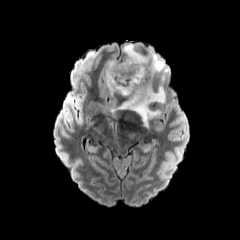
FLAIR MR.
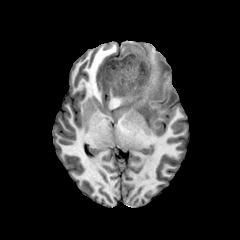
T1-weighted MRI.
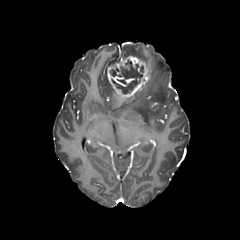
Post-contrast T1-weighted MR image.
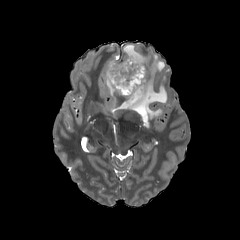
T2-weighted MR.
Axial plane, Brain
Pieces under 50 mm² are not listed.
enhancing_tumor:
  - 107,55,150,99
peritumoral_edema:
  - 123,44,148,65
  - 150,48,169,82
  - 104,59,117,95
  - 118,81,166,126
necrotic_tumor_core:
  - 111,60,142,93